Axial slice, Head
FLAIR magnetic resonance.
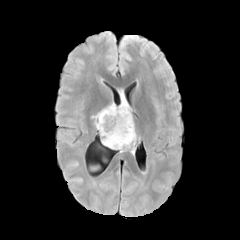
T1-weighted magnetic resonance.
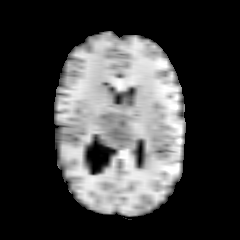
Post-contrast T1-weighted MR.
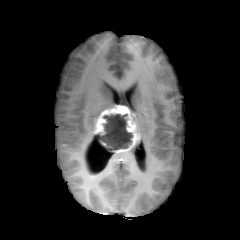
T2-weighted MR image.
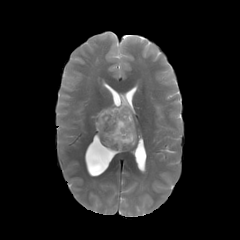
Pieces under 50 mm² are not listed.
The largest peritumoral edema region is located at bbox=[120, 92, 132, 112]. The necrotic tumor core lies within bbox=[98, 114, 132, 150]. The largest enhancing tumor region appears at bbox=[95, 105, 139, 152].